Slice 131 of 155. Axial plane.
FLAIR magnetic resonance.
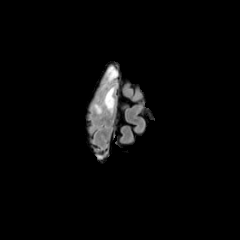
T1-weighted MRI.
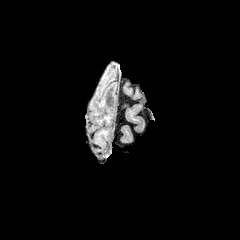
Post-contrast T1-weighted magnetic resonance.
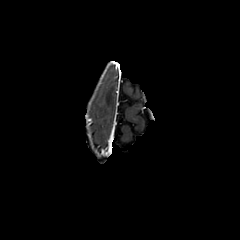
T2-weighted MRI.
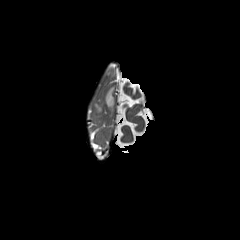
peritumoral edema — (93, 104, 101, 113), (104, 65, 118, 86), (104, 86, 114, 113)